FLAIR MR image.
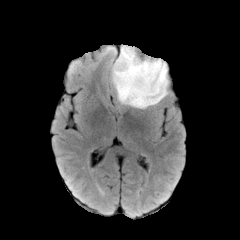
T1-weighted magnetic resonance.
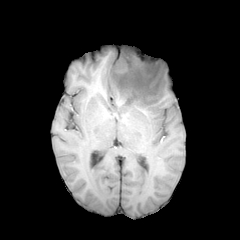
Post-contrast T1-weighted MRI.
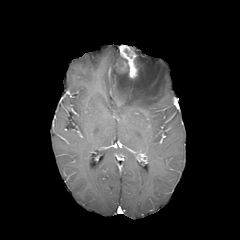
T2-weighted MR image.
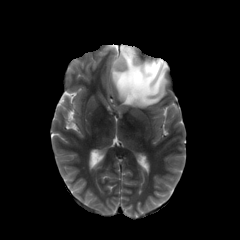
Axial plane
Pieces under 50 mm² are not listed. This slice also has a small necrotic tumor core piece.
The peritumoral edema is located at [112,55,168,108]. The enhancing tumor is located at [120,45,137,78].